FLAIR MRI.
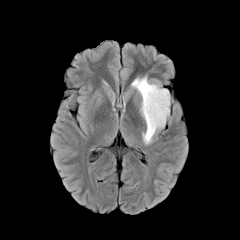
T1-weighted MR.
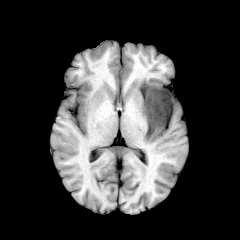
Post-contrast T1-weighted MR image.
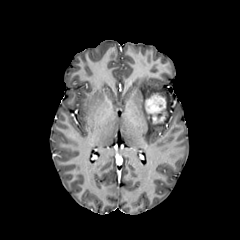
T2-weighted MR image.
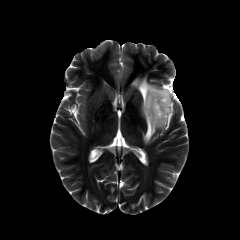
Axial view. Image size 240x240.
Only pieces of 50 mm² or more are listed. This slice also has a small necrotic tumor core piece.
enhancing tumor at [145, 93, 166, 123]
peritumoral edema at [131, 76, 170, 144]